FLAIR MRI.
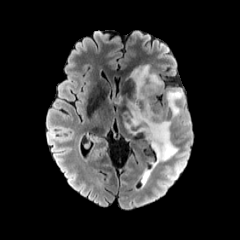
T1-weighted MRI.
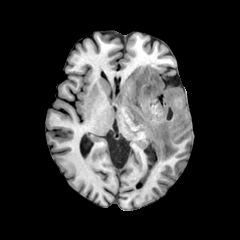
Post-contrast T1-weighted MR image.
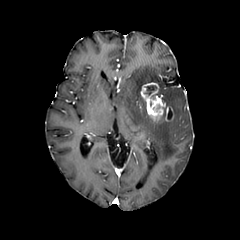
T2-weighted MR image.
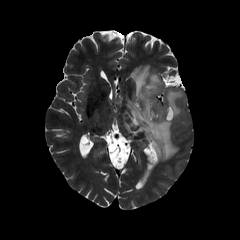
Brain
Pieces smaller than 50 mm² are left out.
The largest necrotic tumor core region lies within bbox=[145, 85, 156, 94]. 2 peritumoral edema regions are located at bbox=[125, 65, 178, 164]; bbox=[166, 88, 184, 117]. The enhancing tumor is located at bbox=[140, 82, 173, 121].